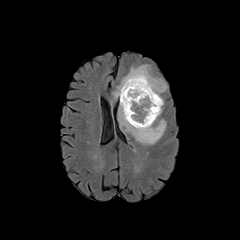
FLAIR MR image.
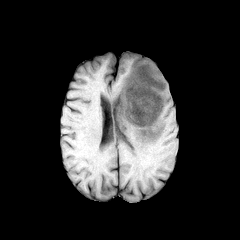
T1-weighted MR.
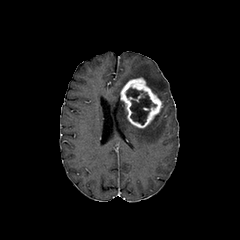
Post-contrast T1-weighted MR image.
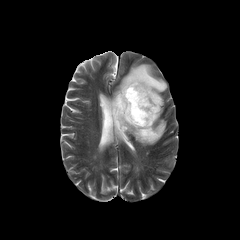
T2-weighted MRI of the same slice.
Head; Image size 240x240
necrotic tumor core: bbox=[126, 88, 156, 124]
peritumoral edema: bbox=[114, 64, 167, 104]; bbox=[118, 100, 166, 144]
enhancing tumor: bbox=[120, 77, 162, 128]